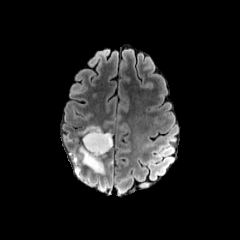
FLAIR magnetic resonance.
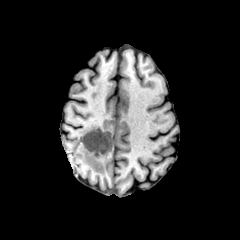
Same slice, T1-weighted MR.
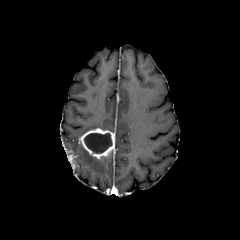
Same slice, post-contrast T1-weighted magnetic resonance.
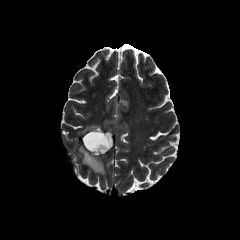
T2-weighted magnetic resonance.
Head. Image size 240x240. Axial slice.
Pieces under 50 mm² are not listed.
enhancing_tumor:
  - [79,128,114,159]
necrotic_tumor_core:
  - [84,133,112,153]
peritumoral_edema:
  - [80,146,104,173]
  - [81,125,101,134]